FLAIR MR image.
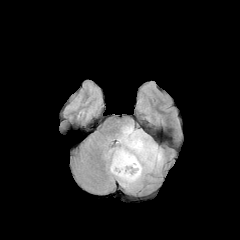
T1-weighted MR image.
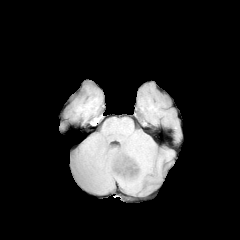
Post-contrast T1-weighted magnetic resonance.
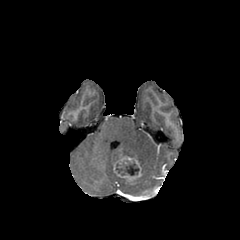
T2-weighted magnetic resonance.
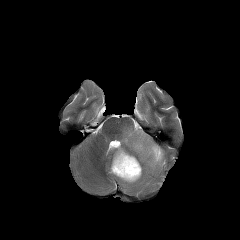
Axial slice | Brain
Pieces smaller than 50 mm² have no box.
peritumoral edema: 104, 124, 163, 191
necrotic tumor core: 116, 160, 139, 175
enhancing tumor: 113, 154, 141, 182